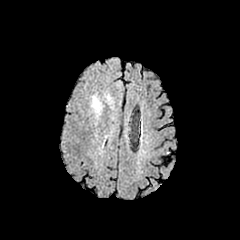
FLAIR magnetic resonance.
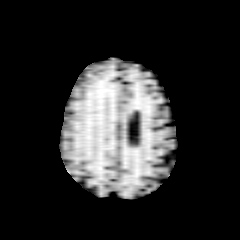
T1-weighted MR image.
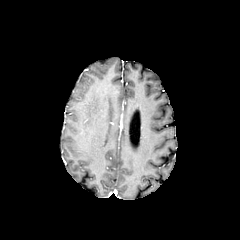
Same slice, post-contrast T1-weighted MRI.
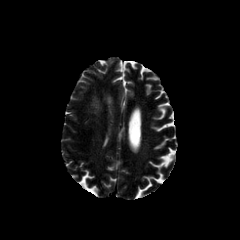
T2-weighted MR image.
240x240 px
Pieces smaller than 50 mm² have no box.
peritumoral edema — 91, 95, 102, 117